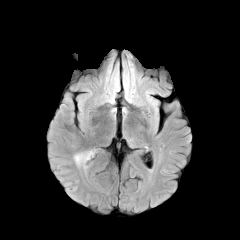
FLAIR magnetic resonance.
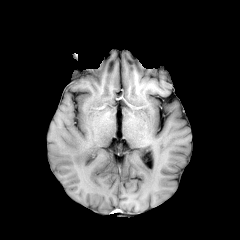
T1-weighted MR image.
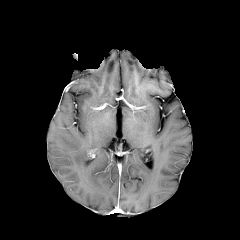
Post-contrast T1-weighted MRI.
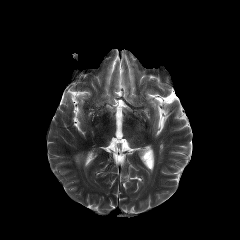
Same slice, T2-weighted MR.
240x240 px, Head
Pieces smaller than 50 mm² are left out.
Findings:
* peritumoral edema: 74 151 92 164